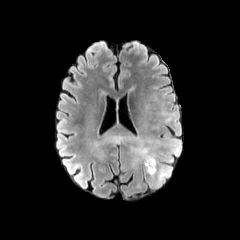
FLAIR magnetic resonance.
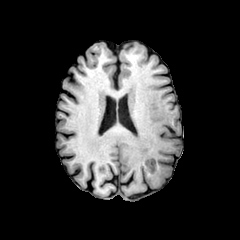
Same slice, T1-weighted magnetic resonance.
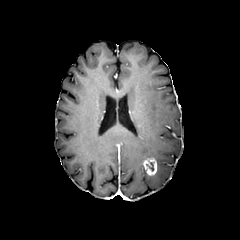
Post-contrast T1-weighted MRI of the same slice.
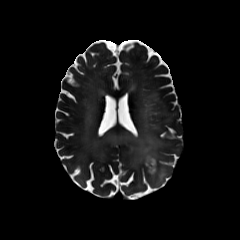
T2-weighted MR image of the same slice.
Image size 240x240.
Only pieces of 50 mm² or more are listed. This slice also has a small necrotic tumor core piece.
2 peritumoral edema regions are bounded by 150,161,168,184; 131,138,160,165. The enhancing tumor is bounded by 143,158,156,175.